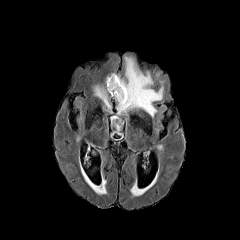
FLAIR magnetic resonance.
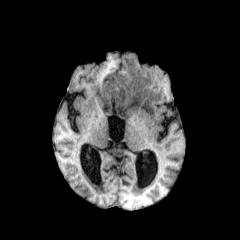
T1-weighted MR image.
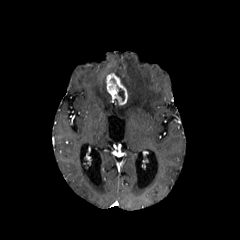
Post-contrast T1-weighted magnetic resonance.
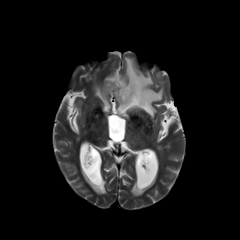
T2-weighted MRI.
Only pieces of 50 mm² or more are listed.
necrotic_tumor_core:
  - box=[117, 86, 124, 101]
enhancing_tumor:
  - box=[106, 73, 127, 105]
peritumoral_edema:
  - box=[90, 183, 105, 195]
  - box=[93, 84, 111, 112]
  - box=[116, 56, 163, 116]